240x240 px. Head.
FLAIR MR image.
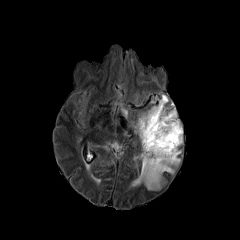
T1-weighted MR.
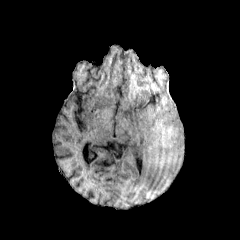
Post-contrast T1-weighted MRI.
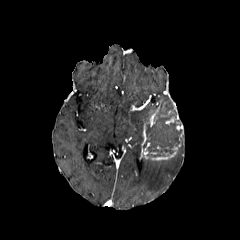
T2-weighted magnetic resonance.
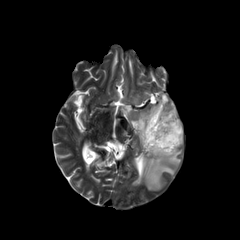
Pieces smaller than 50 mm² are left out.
<segmentation>
  <necrotic_tumor_core>bbox=[143, 105, 181, 157]</necrotic_tumor_core>
  <peritumoral_edema>bbox=[134, 95, 168, 140]; bbox=[140, 150, 181, 190]</peritumoral_edema>
  <enhancing_tumor>bbox=[141, 107, 177, 160]; bbox=[165, 116, 178, 124]</enhancing_tumor>
</segmentation>